Head | Image width 240 mm, 1.00 mm slice spacing | 240x240 | Slice 78 of 155
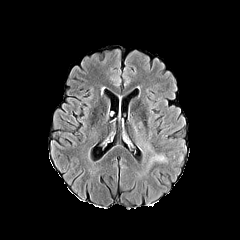
FLAIR MRI.
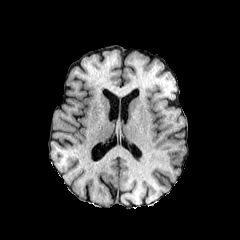
Same slice, T1-weighted MR.
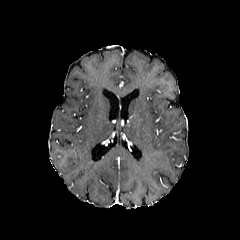
Same slice, post-contrast T1-weighted MR image.
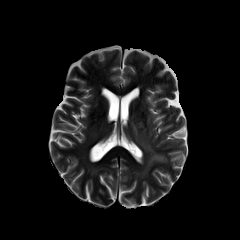
T2-weighted MRI.
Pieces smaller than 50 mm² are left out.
<segmentation>
  <peritumoral_edema>x1=147 y1=155 x2=165 y2=167</peritumoral_edema>
</segmentation>